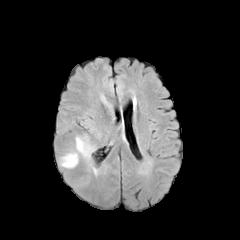
FLAIR MR.
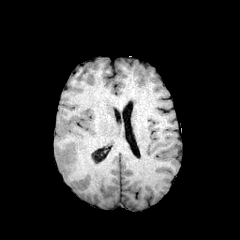
T1-weighted MR.
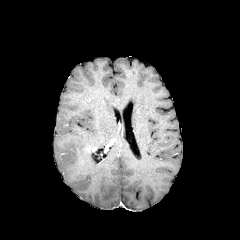
Same slice, post-contrast T1-weighted MR image.
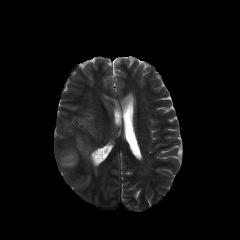
T2-weighted MR.
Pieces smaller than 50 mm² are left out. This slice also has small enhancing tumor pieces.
The 2 largest peritumoral edema regions are located at box(76, 137, 95, 158); box(61, 152, 78, 167).